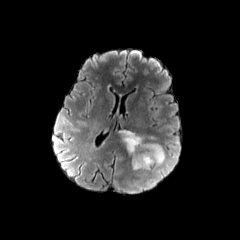
FLAIR magnetic resonance.
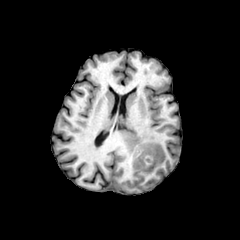
T1-weighted MRI.
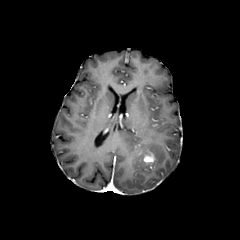
Same slice, post-contrast T1-weighted MRI.
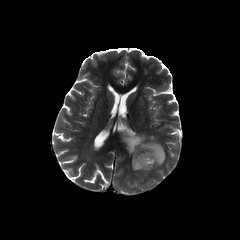
T2-weighted magnetic resonance.
Head. 240x240.
Segmented structures:
* enhancing tumor: 143:155:154:162
* peritumoral edema: 120:129:165:170